Axial view; Head
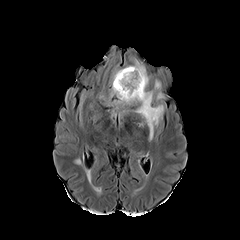
FLAIR magnetic resonance.
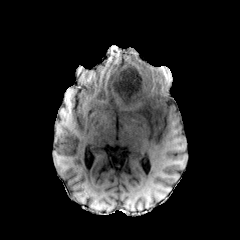
T1-weighted MRI of the same slice.
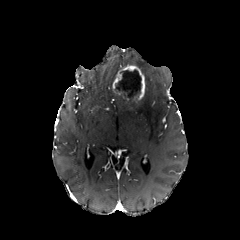
Post-contrast T1-weighted MRI of the same slice.
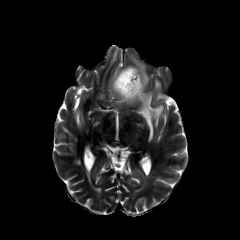
T2-weighted MR image.
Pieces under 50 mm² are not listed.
The 4 largest peritumoral edema regions are bounded by (x1=135, y1=60, x2=149, y2=86), (x1=154, y1=80, x2=160, y2=89), (x1=136, y1=91, x2=163, y2=140), (x1=115, y1=94, x2=135, y2=105). The necrotic tumor core is bounded by (x1=115, y1=69, x2=141, y2=101). The largest enhancing tumor region lies within (x1=112, y1=65, x2=145, y2=102).